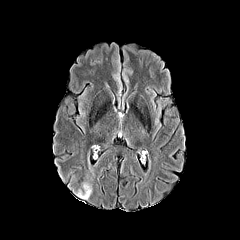
FLAIR magnetic resonance.
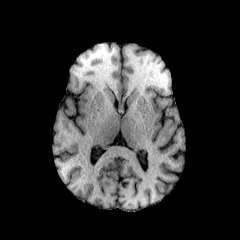
T1-weighted MR of the same slice.
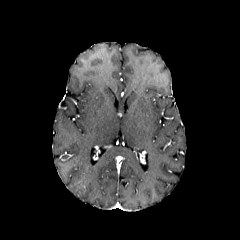
Post-contrast T1-weighted MR of the same slice.
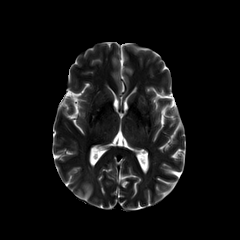
T2-weighted magnetic resonance of the same slice.
Brain | Axial slice | Image size 240x240
<segmentation>
  <peritumoral_edema>region(76, 182, 92, 199)</peritumoral_edema>
</segmentation>